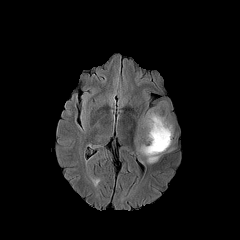
FLAIR MR image.
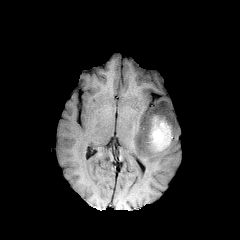
Same slice, T1-weighted MRI.
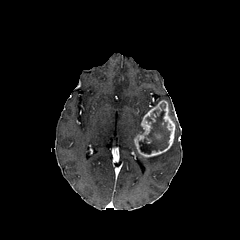
Post-contrast T1-weighted MR of the same slice.
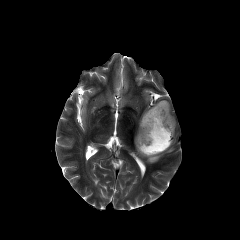
T2-weighted MR image.
Head
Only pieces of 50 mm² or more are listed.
{"necrotic_tumor_core": ["(left=139, top=111, right=170, bottom=153)"], "enhancing_tumor": ["(left=134, top=100, right=175, bottom=157)"], "peritumoral_edema": ["(left=146, top=154, right=162, bottom=163)"]}